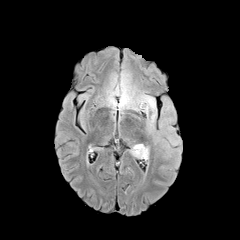
FLAIR magnetic resonance.
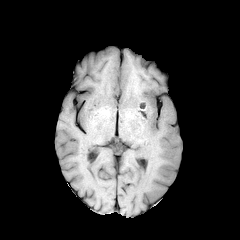
Same slice, T1-weighted MR.
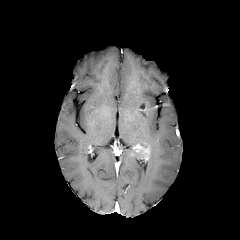
Post-contrast T1-weighted MRI.
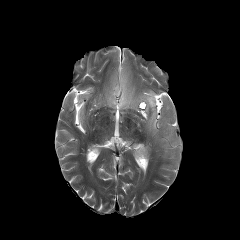
T2-weighted MR image.
Axial view
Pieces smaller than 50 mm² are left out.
The enhancing tumor is bounded by [133, 144, 149, 159]. The 2 largest peritumoral edema regions are bounded by [119, 89, 156, 134], [130, 144, 144, 158].